Axial view | Slice index 64 | Image size 240x240 | Head
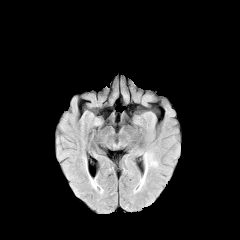
FLAIR MR image.
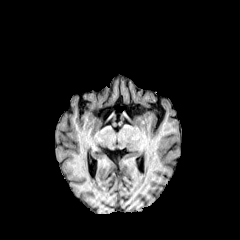
T1-weighted MR.
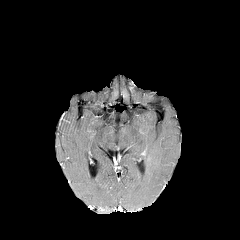
Post-contrast T1-weighted MRI.
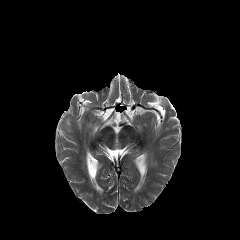
T2-weighted magnetic resonance.
peritumoral edema: [x1=138, y1=153, x2=157, y2=190]